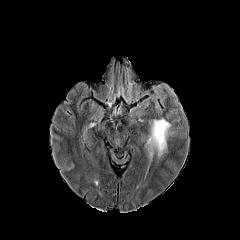
FLAIR MR image.
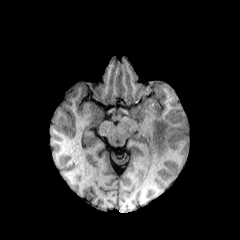
T1-weighted MR of the same slice.
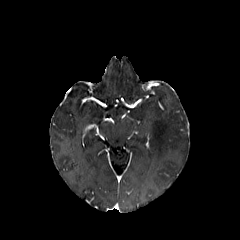
Post-contrast T1-weighted MRI.
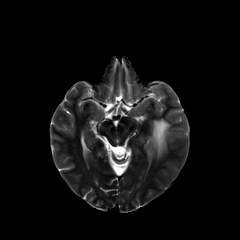
T2-weighted magnetic resonance of the same slice.
Axial slice; Head
{"peritumoral_edema": ["l=149, t=118, r=170, b=158"]}